FLAIR magnetic resonance.
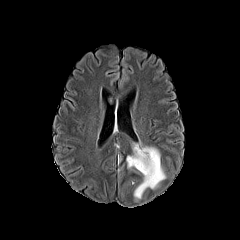
T1-weighted magnetic resonance.
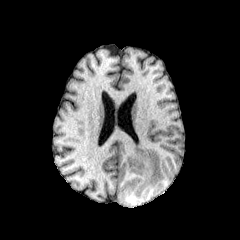
Post-contrast T1-weighted magnetic resonance.
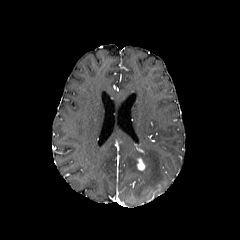
T2-weighted MRI.
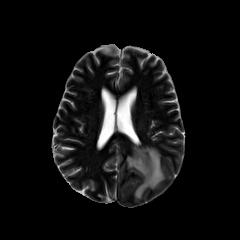
Head
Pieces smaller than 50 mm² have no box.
enhancing tumor: region(137, 158, 145, 170)
peritumoral edema: region(126, 145, 165, 199)